FLAIR MR.
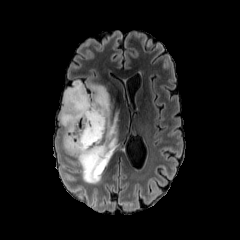
T1-weighted MRI.
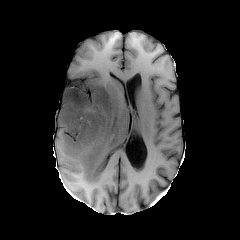
Post-contrast T1-weighted MR.
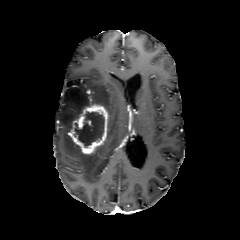
T2-weighted MR.
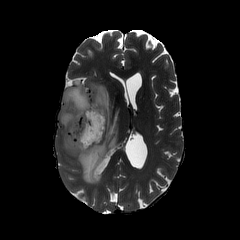
240x240 px; Axial view
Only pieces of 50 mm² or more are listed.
<segmentation>
  <peritumoral_edema>box=[59, 81, 118, 183]</peritumoral_edema>
  <necrotic_tumor_core>box=[74, 112, 103, 146]</necrotic_tumor_core>
  <enhancing_tumor>box=[69, 103, 109, 154]</enhancing_tumor>
</segmentation>